Image size 240x240 | Slice 64 of 155
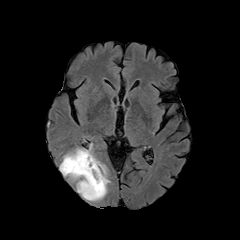
FLAIR MR image.
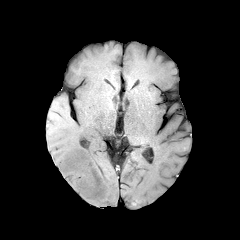
T1-weighted MR image.
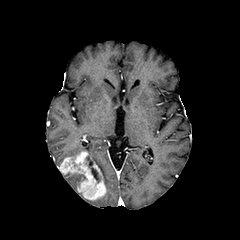
Post-contrast T1-weighted magnetic resonance of the same slice.
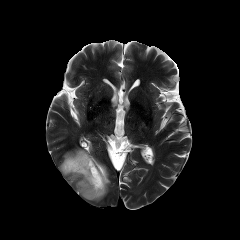
Same slice, T2-weighted MRI.
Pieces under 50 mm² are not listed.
enhancing tumor — (59,151,106,200)
necrotic tumor core — (86,155,100,182)
peritumoral edema — (64,173,85,189), (63,144,110,192)